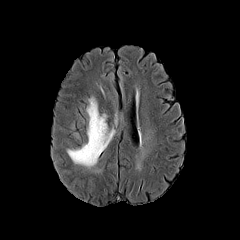
FLAIR MR.
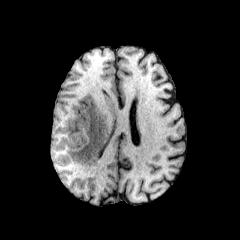
Same slice, T1-weighted MR image.
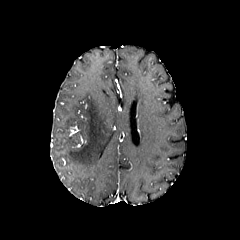
Post-contrast T1-weighted MR image.
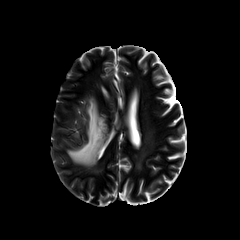
Same slice, T2-weighted MR.
Brain
Findings:
• peritumoral edema: [67,97,114,166]